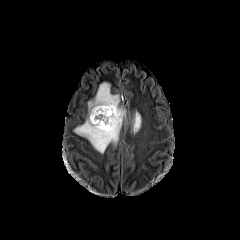
FLAIR MRI.
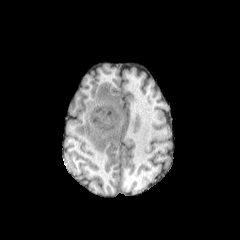
T1-weighted MR image of the same slice.
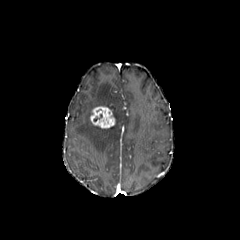
Same slice, post-contrast T1-weighted MRI.
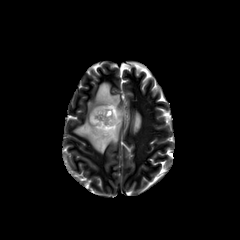
T2-weighted MR.
Head.
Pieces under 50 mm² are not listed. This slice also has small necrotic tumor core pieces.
Findings:
• peritumoral edema: (132,111,141,133), (74,82,125,153)
• enhancing tumor: (90,106,115,128)